240x240 px, Axial view, Brain
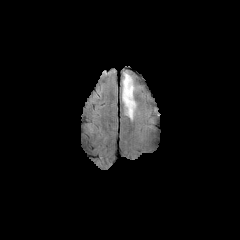
FLAIR MR.
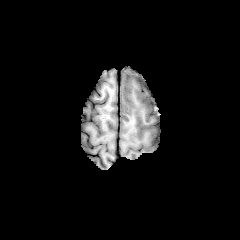
T1-weighted MR.
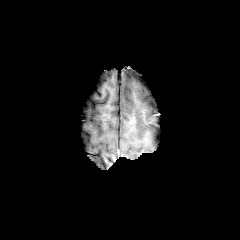
Post-contrast T1-weighted MR image of the same slice.
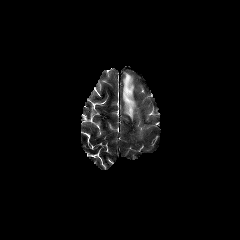
T2-weighted MR image.
Segmented structures:
* peritumoral edema: [122, 72, 136, 119]